Slice 84/155, 240x240 px, Axial view, Image width 240 mm
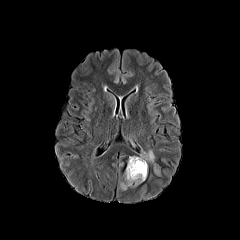
FLAIR MRI.
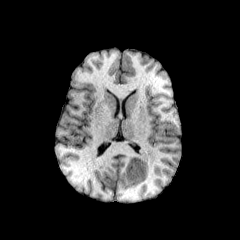
T1-weighted MRI.
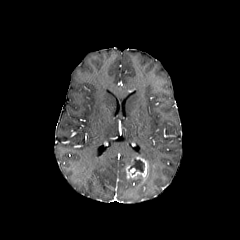
Post-contrast T1-weighted magnetic resonance of the same slice.
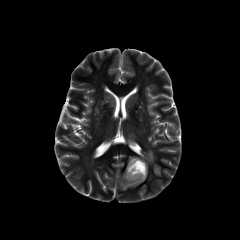
Same slice, T2-weighted MR image.
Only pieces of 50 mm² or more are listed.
peritumoral edema = region(120, 175, 144, 190); region(140, 150, 154, 163)
enhancing tumor = region(126, 156, 148, 179)
necrotic tumor core = region(130, 158, 144, 172)